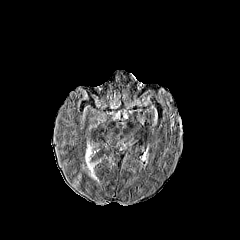
FLAIR MR image.
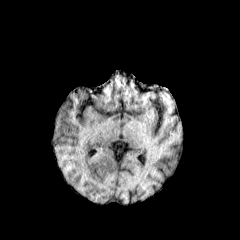
T1-weighted magnetic resonance.
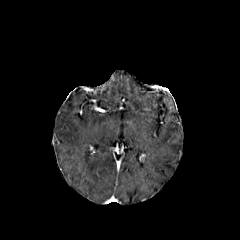
Post-contrast T1-weighted magnetic resonance.
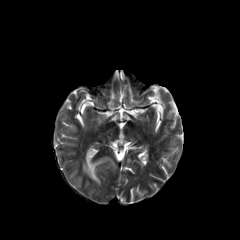
T2-weighted magnetic resonance.
Brain | Axial plane | 240x240
<segmentation>
  <peritumoral_edema>left=83, top=149, right=100, bottom=181</peritumoral_edema>
</segmentation>